Axial slice
FLAIR magnetic resonance.
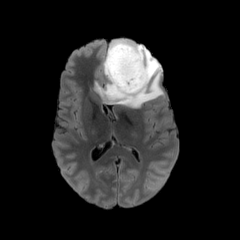
T1-weighted MR.
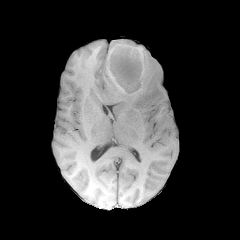
Post-contrast T1-weighted magnetic resonance.
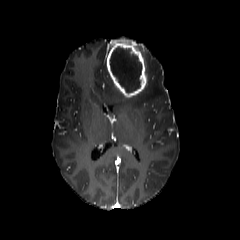
T2-weighted MR.
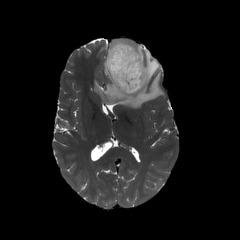
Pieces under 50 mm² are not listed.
enhancing tumor = <bbox>106, 39, 147, 98</bbox>
peritumoral edema = <bbox>93, 44, 164, 108</bbox>
necrotic tumor core = <bbox>110, 46, 141, 92</bbox>